Slice 111 of 155, Head, 240x240 px
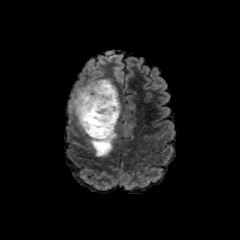
FLAIR magnetic resonance.
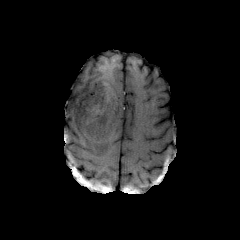
T1-weighted magnetic resonance.
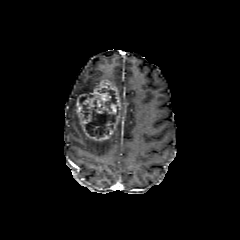
Same slice, post-contrast T1-weighted MR.
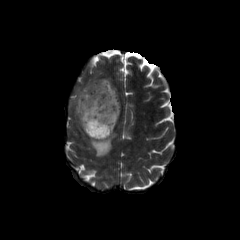
T2-weighted magnetic resonance.
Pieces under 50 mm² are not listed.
peritumoral edema — [89,130,117,156], [69,78,104,126]
enhancing tumor — [75,79,120,141]
necrotic tumor core — [82,100,118,137], [98,88,116,110]